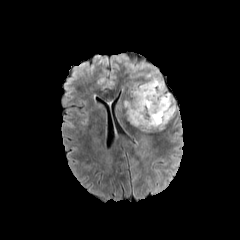
FLAIR magnetic resonance.
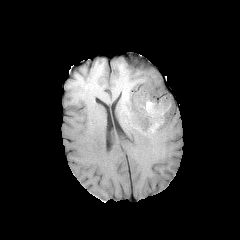
T1-weighted MR image.
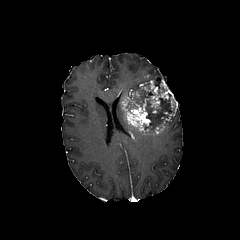
Same slice, post-contrast T1-weighted MRI.
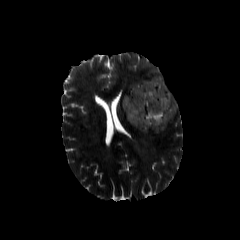
T2-weighted MR image.
Brain | 240x240 px
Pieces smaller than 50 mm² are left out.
peritumoral edema: 146:70:161:78 | enhancing tumor: 122:75:178:135 | necrotic tumor core: 136:90:154:106, 154:78:167:93, 144:96:172:128